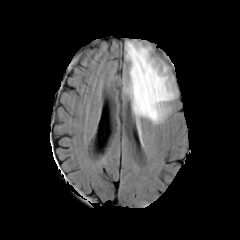
FLAIR MRI.
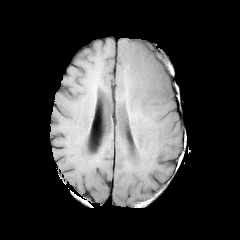
Same slice, T1-weighted magnetic resonance.
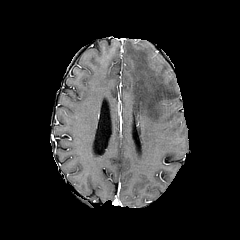
Post-contrast T1-weighted MR image.
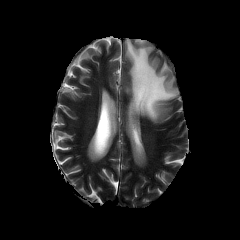
T2-weighted MRI of the same slice.
Brain | Axial plane
The peritumoral edema lies within rect(124, 40, 176, 123).